Axial slice
FLAIR MR.
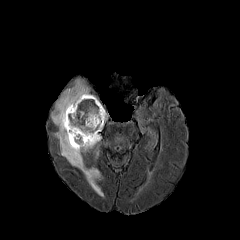
T1-weighted MRI.
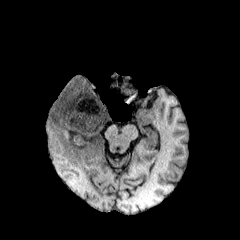
Post-contrast T1-weighted MR image.
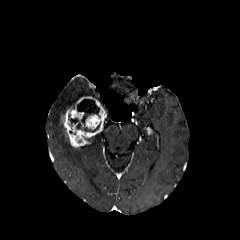
T2-weighted MR image.
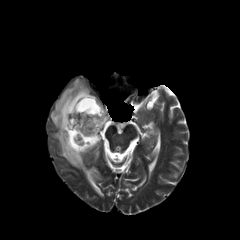
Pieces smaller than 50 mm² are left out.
Annotated regions:
- necrotic tumor core: [x1=84, y1=124, x2=99, y2=131], [x1=77, y1=99, x2=99, y2=125]
- peritumoral edema: [x1=51, y1=78, x2=103, y2=196]
- enhancing tumor: [x1=60, y1=96, x2=106, y2=148]